FLAIR MR image.
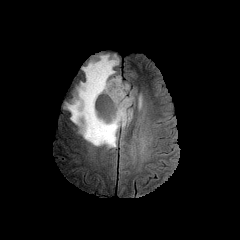
T1-weighted MR image.
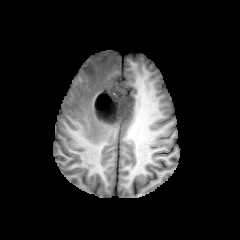
Post-contrast T1-weighted MR.
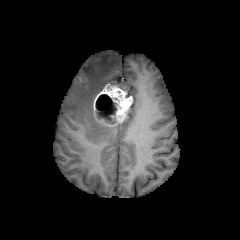
T2-weighted magnetic resonance.
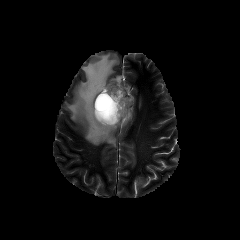
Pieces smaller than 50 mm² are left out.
necrotic tumor core: <bbox>95, 94, 116, 123</bbox> | peritumoral edema: <bbox>64, 53, 132, 147</bbox> | enhancing tumor: <bbox>93, 84, 132, 126</bbox>